FLAIR MR.
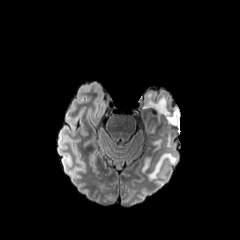
T1-weighted MR image.
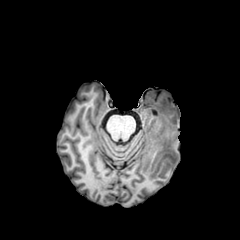
Post-contrast T1-weighted MR image.
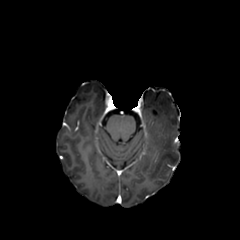
T2-weighted magnetic resonance.
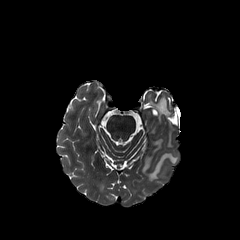
Brain | Image size 240x240
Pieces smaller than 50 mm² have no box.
{"peritumoral_edema": ["l=148, t=152, r=177, b=179", "l=142, t=98, r=178, b=132", "l=142, t=156, r=150, b=171"]}